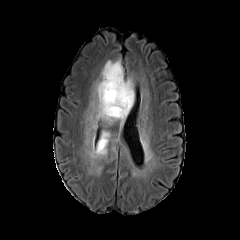
FLAIR MRI.
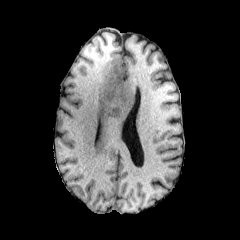
T1-weighted MR image.
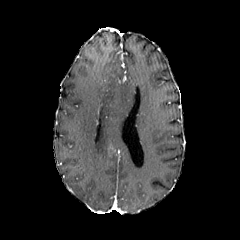
Post-contrast T1-weighted MRI.
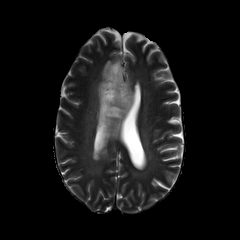
T2-weighted MRI.
240x240 px | Brain
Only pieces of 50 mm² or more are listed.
Annotated regions:
- peritumoral edema: box(91, 131, 109, 158); box(96, 60, 134, 123)